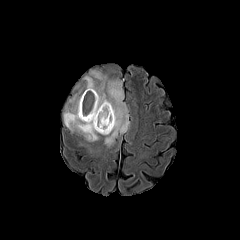
FLAIR MR.
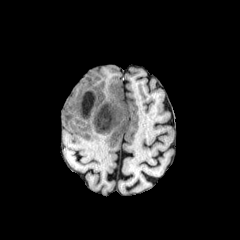
T1-weighted magnetic resonance.
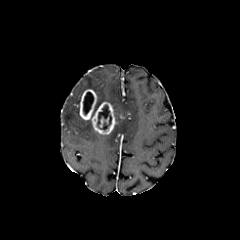
Post-contrast T1-weighted MR image.
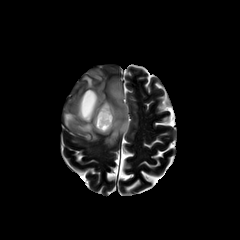
T2-weighted MR of the same slice.
240x240; Axial plane; Brain
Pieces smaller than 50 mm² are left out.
necrotic tumor core — 83:92:93:114, 97:105:111:129
peritumoral edema — 84:69:129:146, 63:94:99:141
enhancing tumor — 99:116:108:127, 79:89:116:134